Slice 47 of 155. Image width 240 mm, 1.00 mm slice spacing. Axial plane. Brain. 240x240.
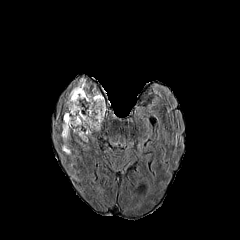
FLAIR MR.
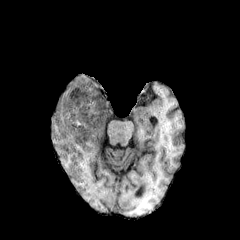
T1-weighted MR image of the same slice.
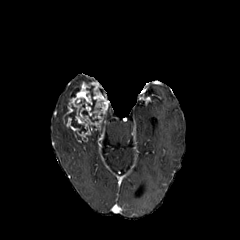
Post-contrast T1-weighted magnetic resonance.
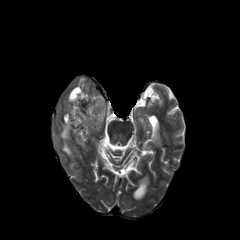
Same slice, T2-weighted MR image.
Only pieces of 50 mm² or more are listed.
Segmented structures:
* enhancing tumor: {"x1": 63, "y1": 81, "x2": 109, "y2": 141}
* peritumoral edema: {"x1": 61, "y1": 124, "x2": 70, "y2": 154}
* necrotic tumor core: {"x1": 69, "y1": 86, "x2": 80, "y2": 97}, {"x1": 87, "y1": 86, "x2": 95, "y2": 111}, {"x1": 64, "y1": 105, "x2": 86, "y2": 133}